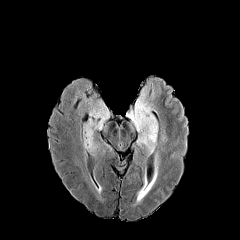
FLAIR MRI.
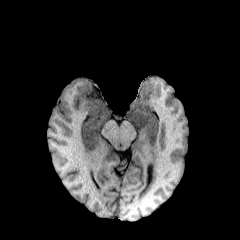
T1-weighted MR.
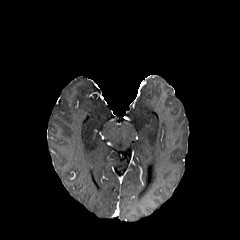
Post-contrast T1-weighted MRI.
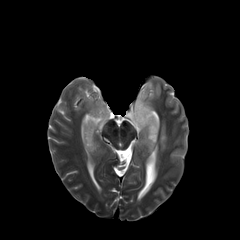
T2-weighted magnetic resonance.
Brain | Axial slice | 240x240
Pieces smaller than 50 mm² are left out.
peritumoral edema = [126,87,157,154], [82,109,109,154]